Slice 122/155.
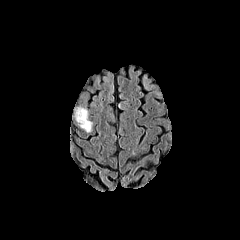
FLAIR magnetic resonance.
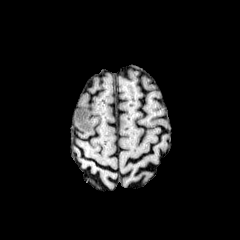
T1-weighted MRI.
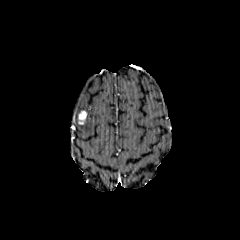
Post-contrast T1-weighted magnetic resonance.
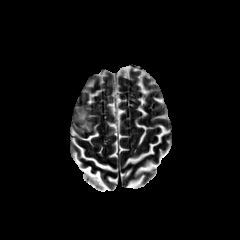
T2-weighted MR.
peritumoral_edema:
  - [76, 107, 92, 132]
enhancing_tumor:
  - [78, 110, 86, 124]